Slice 47 of 155. Brain. Axial view.
FLAIR MR.
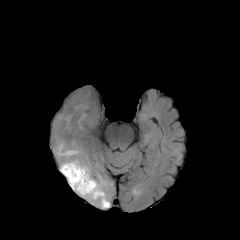
T1-weighted MR.
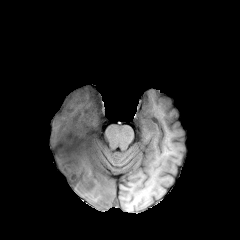
Post-contrast T1-weighted magnetic resonance.
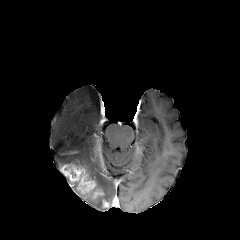
T2-weighted MRI.
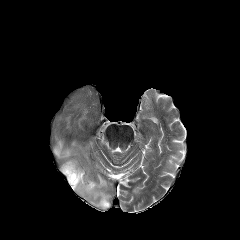
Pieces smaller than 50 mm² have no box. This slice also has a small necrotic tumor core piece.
The 2 largest peritumoral edema regions are bounded by (x1=53, y1=135, x2=112, y2=208), (x1=66, y1=116, x2=70, y2=129). The 2 largest enhancing tumor regions are bounded by (x1=60, y1=163, x2=95, y2=195), (x1=92, y1=189, x2=103, y2=198).